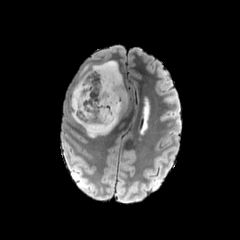
FLAIR MRI.
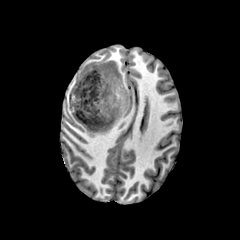
T1-weighted MRI.
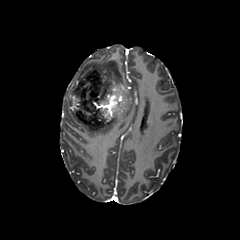
Post-contrast T1-weighted MR.
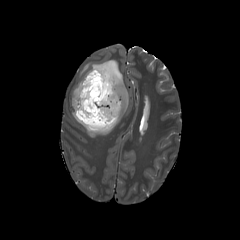
T2-weighted MR image.
Head. Axial plane.
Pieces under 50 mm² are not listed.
{"peritumoral_edema": ["region(71, 91, 128, 137)", "region(72, 60, 123, 95)"], "necrotic_tumor_core": ["region(75, 72, 107, 124)"], "enhancing_tumor": ["region(71, 70, 100, 115)", "region(92, 74, 127, 124)"]}